FLAIR MR image.
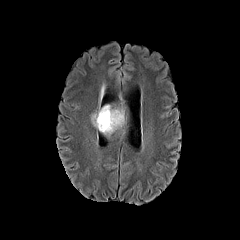
T1-weighted magnetic resonance.
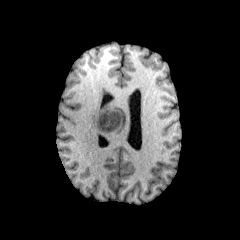
Post-contrast T1-weighted MR image.
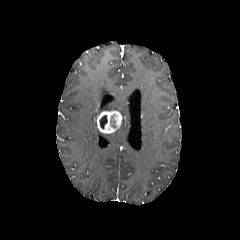
T2-weighted MR.
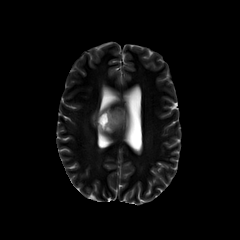
Axial view. 240x240 px.
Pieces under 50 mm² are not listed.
The enhancing tumor is at 96:110:122:133. The necrotic tumor core is bounded by 99:115:107:128. The largest peritumoral edema region appears at 91:105:124:127.